Image width 240 mm
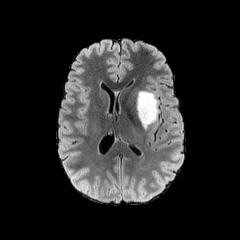
FLAIR MR image.
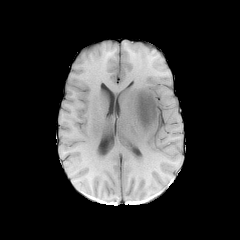
T1-weighted MRI.
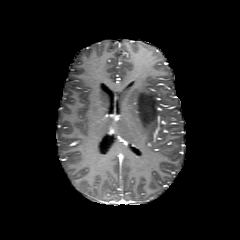
Post-contrast T1-weighted MRI.
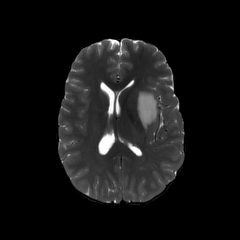
T2-weighted MRI.
peritumoral_edema:
  - <box>137,91,158,129</box>